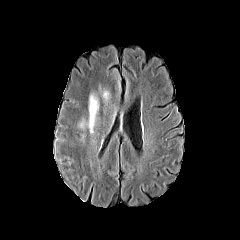
FLAIR MRI.
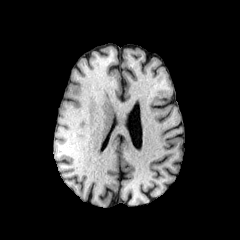
T1-weighted MR image of the same slice.
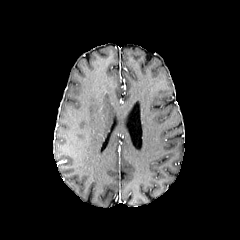
Same slice, post-contrast T1-weighted MR.
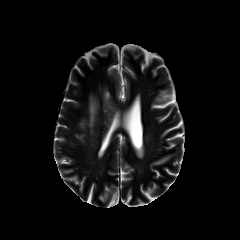
T2-weighted MRI.
Axial plane, Image size 240x240
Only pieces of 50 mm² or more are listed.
Segmented structures:
* peritumoral edema: <box>88,95,98,132</box>